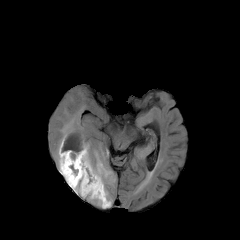
FLAIR MR.
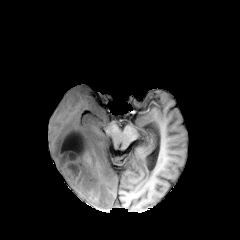
T1-weighted magnetic resonance of the same slice.
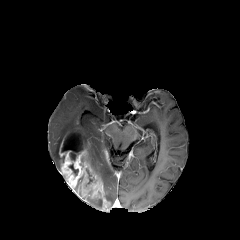
Same slice, post-contrast T1-weighted magnetic resonance.
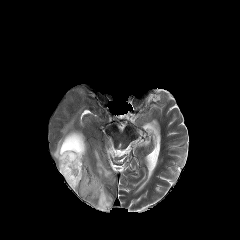
Same slice, T2-weighted MR.
240x240 | Axial plane | Brain
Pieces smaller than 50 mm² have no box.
necrotic tumor core: [61, 131, 87, 160], [69, 164, 78, 175] | peritumoral edema: [53, 115, 85, 169], [87, 198, 101, 207], [86, 138, 115, 207] | enhancing tumor: [59, 130, 110, 209]